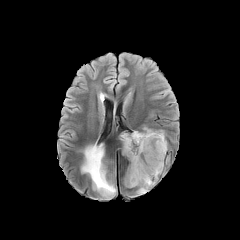
FLAIR MR image.
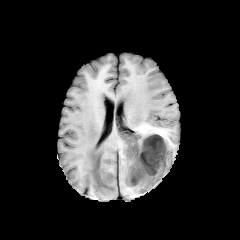
T1-weighted MR of the same slice.
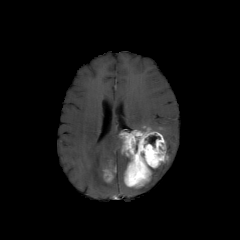
Post-contrast T1-weighted MRI of the same slice.
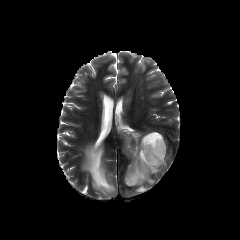
T2-weighted MR image.
Axial plane, Head, 240x240 px
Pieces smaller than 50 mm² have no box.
peritumoral edema: x1=136 y1=161 x2=168 y2=193, x1=81 y1=143 x2=116 y2=198 | enhancing tumor: x1=103 y1=169 x2=112 y2=182, x1=120 y1=129 x2=168 y2=187 | necrotic tumor core: x1=146 y1=135 x2=160 y2=145